FLAIR magnetic resonance.
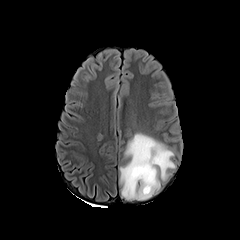
T1-weighted magnetic resonance.
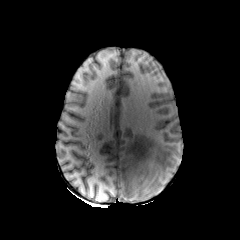
Post-contrast T1-weighted MR image.
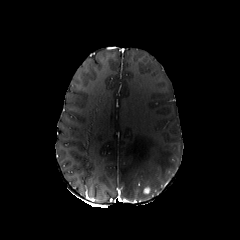
T2-weighted MR.
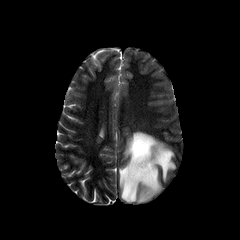
Image size 240x240 | Head | Axial view
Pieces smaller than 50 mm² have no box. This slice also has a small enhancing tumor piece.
peritumoral edema: bounding box 119:132:175:200